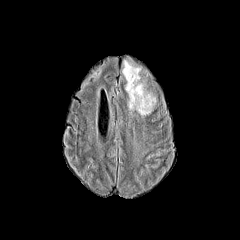
FLAIR MRI.
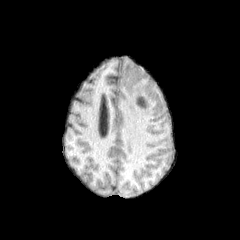
T1-weighted magnetic resonance of the same slice.
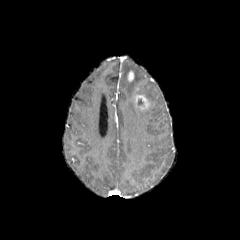
Post-contrast T1-weighted MR image.
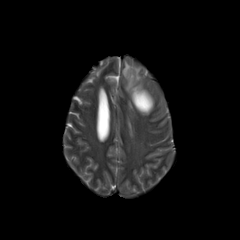
T2-weighted MR.
Head
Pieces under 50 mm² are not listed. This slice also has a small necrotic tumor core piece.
enhancing tumor: bounding box [127,71,134,81], [135,94,150,109]
peritumoral edema: bounding box [122,61,155,115]